FLAIR MR image.
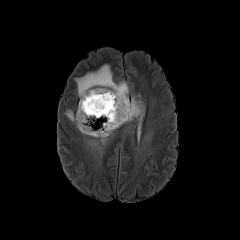
T1-weighted magnetic resonance.
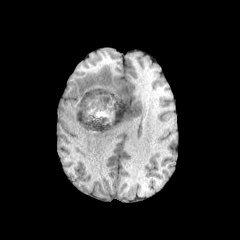
Post-contrast T1-weighted MRI.
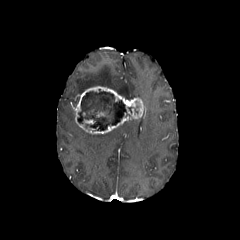
T2-weighted MR image.
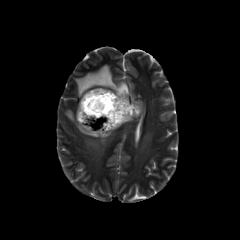
Head
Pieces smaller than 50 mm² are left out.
enhancing tumor = (x1=75, y1=86, x2=144, y2=134)
peritumoral edema = (x1=75, y1=64, x2=129, y2=99), (x1=65, y1=110, x2=115, y2=144)
necrotic tumor core = (x1=77, y1=89, x2=126, y2=130)